Brain; Slice 114 of 155
FLAIR magnetic resonance.
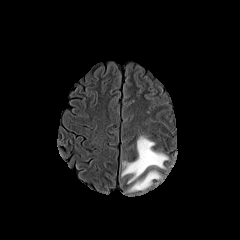
T1-weighted MR.
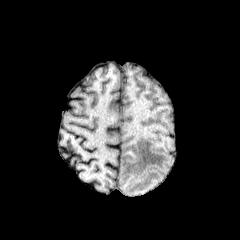
Post-contrast T1-weighted MR image.
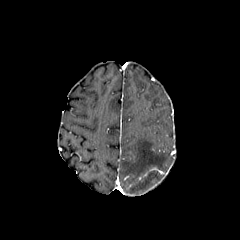
T2-weighted MR.
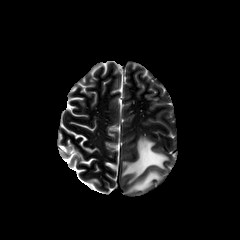
Findings:
- peritumoral edema: <box>127,171,161,192</box>, <box>121,136,168,183</box>